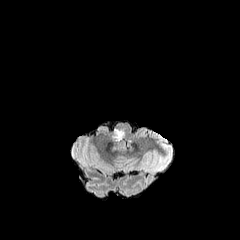
FLAIR magnetic resonance.
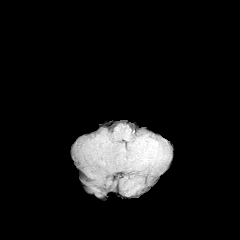
T1-weighted MR image.
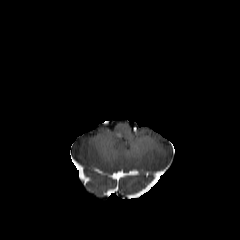
Post-contrast T1-weighted MRI.
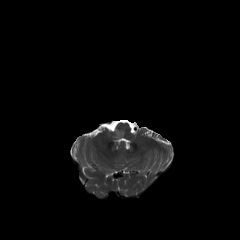
T2-weighted MRI.
Head
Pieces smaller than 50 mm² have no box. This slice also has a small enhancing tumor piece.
peritumoral edema at 112, 128, 124, 141